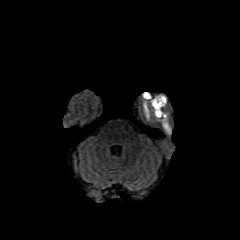
FLAIR MR image.
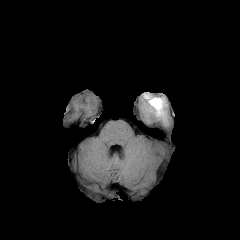
Same slice, T1-weighted MR.
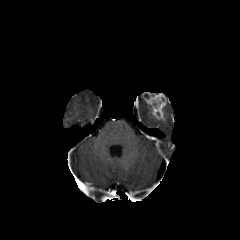
Post-contrast T1-weighted MR of the same slice.
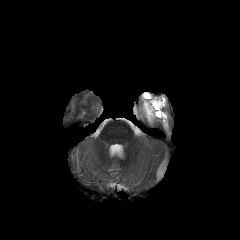
T2-weighted MR.
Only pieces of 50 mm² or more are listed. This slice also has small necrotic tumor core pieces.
enhancing tumor — [x1=143, y1=92, x2=166, y2=120]
peritumoral edema — [x1=142, y1=99, x2=155, y2=121], [x1=157, y1=112, x2=171, y2=135]